FLAIR MR image.
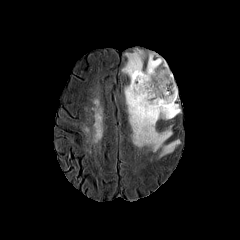
T1-weighted MRI.
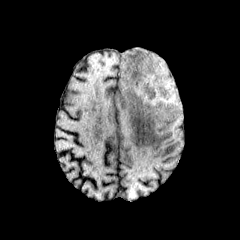
Post-contrast T1-weighted MR.
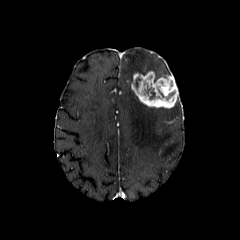
T2-weighted magnetic resonance.
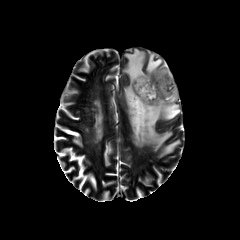
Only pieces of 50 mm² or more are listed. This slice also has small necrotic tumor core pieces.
The enhancing tumor appears at left=131, top=71, right=178, bottom=108. The peritumoral edema is located at left=122, top=49, right=180, bottom=156.